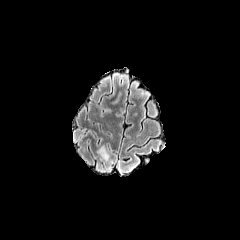
FLAIR magnetic resonance.
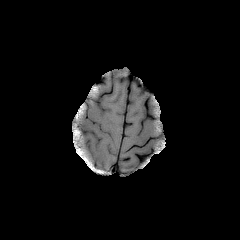
Same slice, T1-weighted MR image.
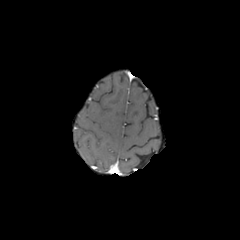
Post-contrast T1-weighted MRI.
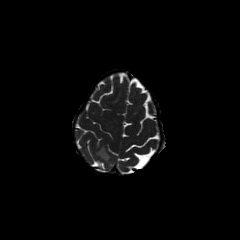
T2-weighted magnetic resonance.
peritumoral edema: 97 146 108 160